FLAIR magnetic resonance.
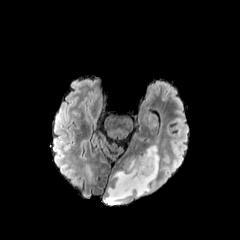
T1-weighted MRI.
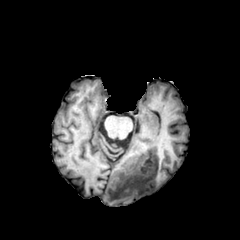
Post-contrast T1-weighted magnetic resonance.
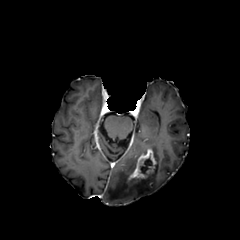
T2-weighted MR image.
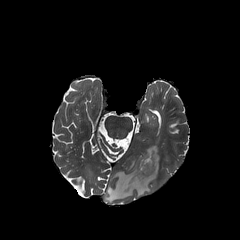
Head; Axial view
{"necrotic_tumor_core": ["139 158 152 173"], "enhancing_tumor": ["127 148 156 183"], "peritumoral_edema": ["104 145 159 204"]}